Head; Slice 23 of 155; 240x240 px; Image width 240 mm, 1.00 mm slice spacing; Axial slice
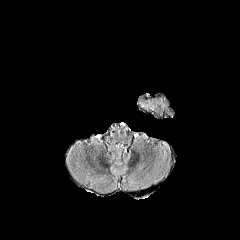
FLAIR MRI.
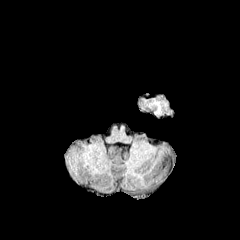
T1-weighted MR image.
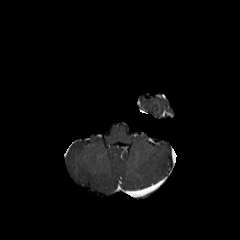
Same slice, post-contrast T1-weighted magnetic resonance.
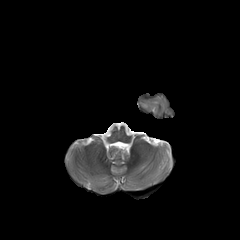
T2-weighted MR.
peritumoral edema: region(141, 96, 169, 114)